Axial view
FLAIR magnetic resonance.
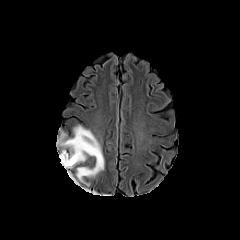
T1-weighted MR image.
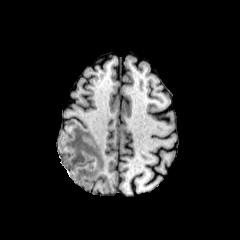
Post-contrast T1-weighted MR.
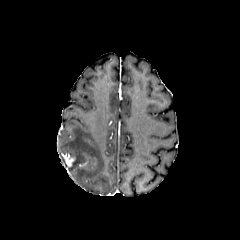
T2-weighted MR.
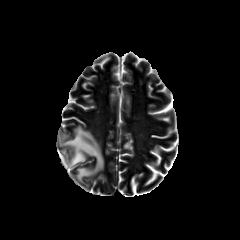
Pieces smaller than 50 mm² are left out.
enhancing tumor: x1=62 y1=154 x2=74 y2=166
peritumoral edema: x1=59 y1=125 x2=104 y2=182